FLAIR MR.
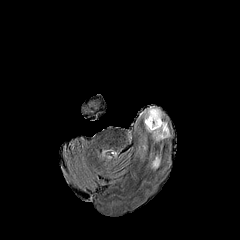
T1-weighted MR image.
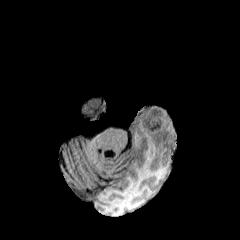
Post-contrast T1-weighted MRI.
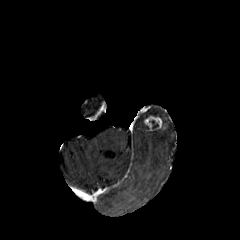
T2-weighted MRI.
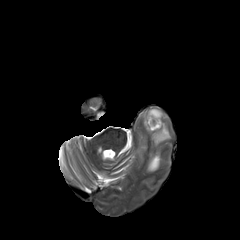
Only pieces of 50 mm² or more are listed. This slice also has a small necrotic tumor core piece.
peritumoral edema: region(144, 108, 163, 119); region(149, 121, 170, 141); region(150, 154, 160, 169) | enhancing tumor: region(144, 116, 162, 130)